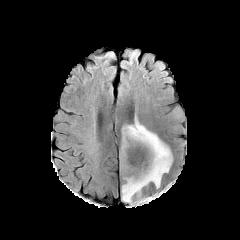
FLAIR MRI.
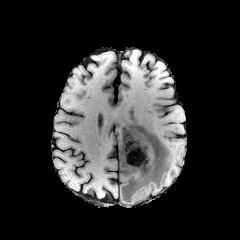
T1-weighted MRI of the same slice.
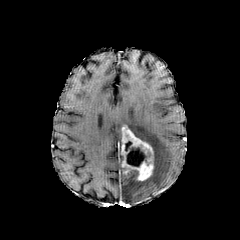
Same slice, post-contrast T1-weighted MR image.
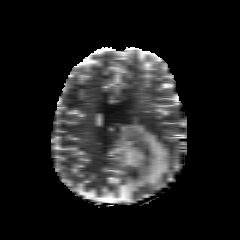
T2-weighted MR image.
Head
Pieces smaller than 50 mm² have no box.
{
  "peritumoral_edema": [
    "<box>121,119,172,202</box>"
  ],
  "enhancing_tumor": [
    "<box>120,126,153,180</box>"
  ],
  "necrotic_tumor_core": [
    "<box>126,147,146,166</box>"
  ]
}